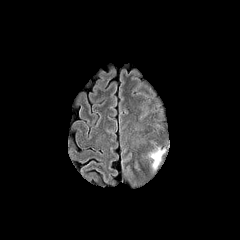
FLAIR magnetic resonance.
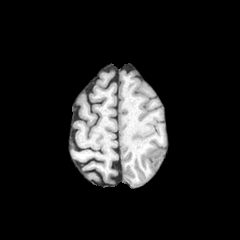
T1-weighted magnetic resonance of the same slice.
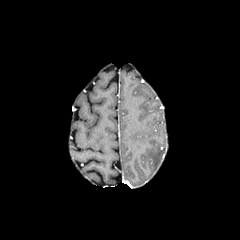
Post-contrast T1-weighted MR image.
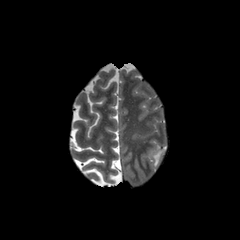
T2-weighted MR of the same slice.
240x240
peritumoral edema: (151,150,163,167)